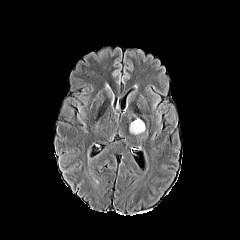
FLAIR MRI.
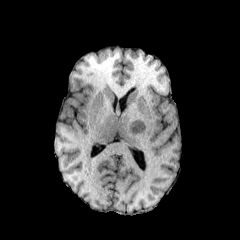
T1-weighted MRI.
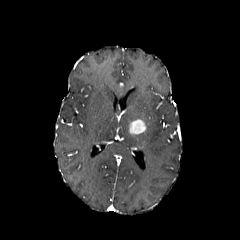
Post-contrast T1-weighted MR of the same slice.
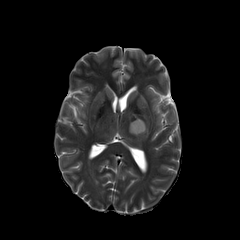
T2-weighted MR.
Brain
enhancing tumor: box(129, 119, 145, 134)